Brain. Image width 240 mm, 1.00 mm slice spacing. Slice 78 of 155. Image size 240x240.
FLAIR MRI.
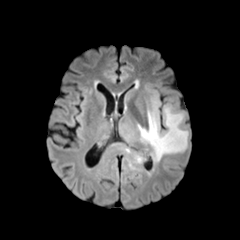
T1-weighted MRI.
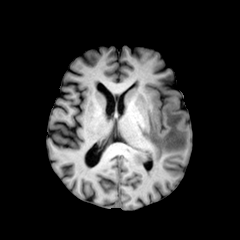
Post-contrast T1-weighted MRI.
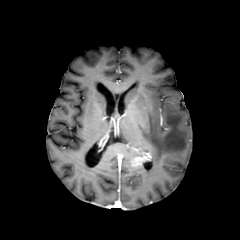
T2-weighted MR.
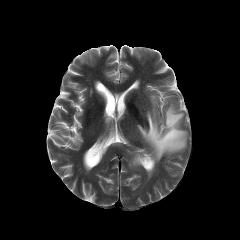
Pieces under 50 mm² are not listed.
enhancing_tumor:
  - box=[132, 154, 149, 165]
peritumoral_edema:
  - box=[129, 154, 142, 168]
  - box=[138, 106, 187, 162]